FLAIR MR image.
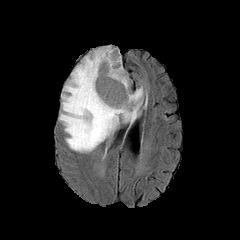
T1-weighted MR image.
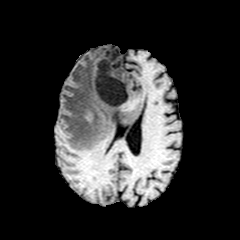
Post-contrast T1-weighted magnetic resonance.
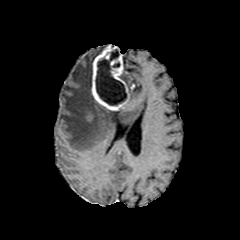
T2-weighted MRI.
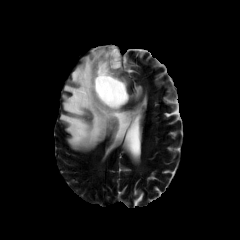
Brain, 240x240
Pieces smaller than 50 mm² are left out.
peritumoral_edema:
  - (x1=59, y1=46, x2=143, y2=152)
  - (x1=121, y1=70, x2=128, y2=89)
enhancing_tumor:
  - (x1=91, y1=45, x2=129, y2=110)
necrotic_tumor_core:
  - (x1=96, y1=49, x2=127, y2=105)